Axial view | Slice index 100
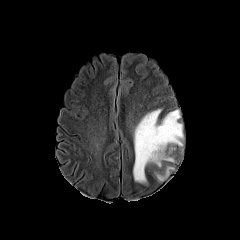
FLAIR MR image.
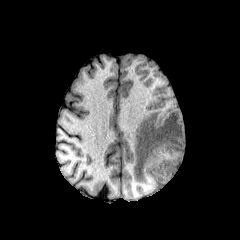
T1-weighted magnetic resonance.
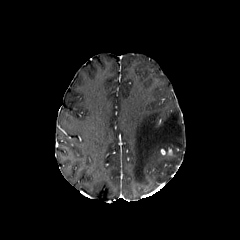
Post-contrast T1-weighted magnetic resonance.
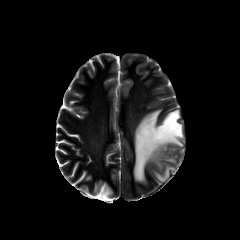
Same slice, T2-weighted MR image.
The enhancing tumor lies within l=160, t=148, r=173, b=156. 2 peritumoral edema regions are located at l=133, t=109, r=183, b=183; l=155, t=167, r=173, b=180.